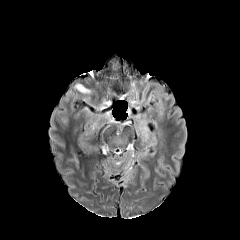
FLAIR MR image.
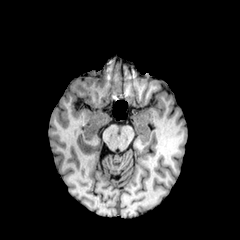
T1-weighted MR image.
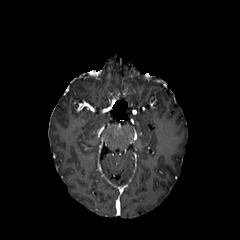
Post-contrast T1-weighted magnetic resonance of the same slice.
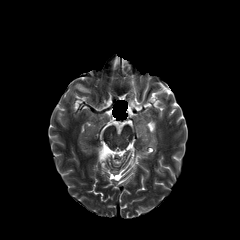
T2-weighted MR.
The peritumoral edema appears at x1=75 y1=84 x2=90 y2=92.